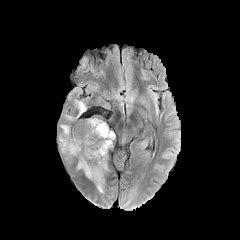
FLAIR magnetic resonance.
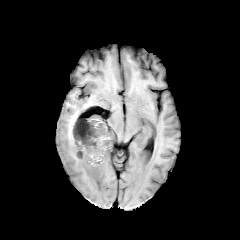
T1-weighted MRI.
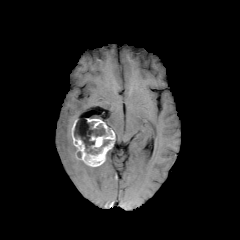
Post-contrast T1-weighted magnetic resonance of the same slice.
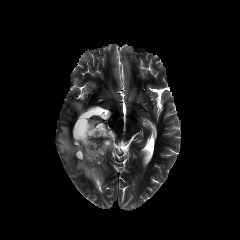
T2-weighted MRI of the same slice.
Head. Axial plane. Image size 240x240.
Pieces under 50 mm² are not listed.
The largest necrotic tumor core region is at box(74, 118, 110, 154). The 4 largest peritumoral edema regions are bounded by box(59, 125, 76, 155); box(76, 102, 85, 116); box(76, 160, 107, 192); box(63, 112, 78, 121). The enhancing tumor is located at box(71, 118, 116, 166).